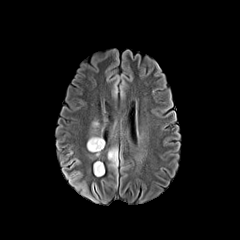
FLAIR magnetic resonance.
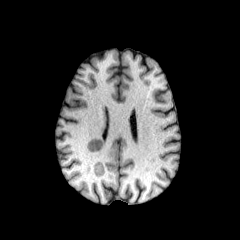
T1-weighted magnetic resonance.
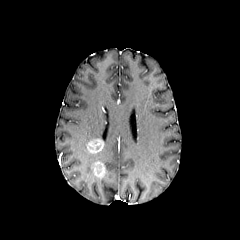
Post-contrast T1-weighted MRI of the same slice.
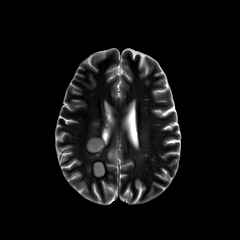
T2-weighted magnetic resonance of the same slice.
Brain.
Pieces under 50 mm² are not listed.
2 enhancing tumor regions are located at [87, 139, 103, 153], [94, 162, 104, 176]. The largest peritumoral edema region is at [108, 149, 117, 166].